Head. Slice 98 of 155. Axial view.
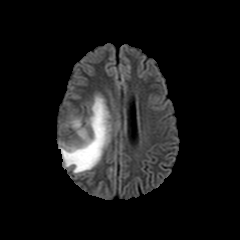
FLAIR MR.
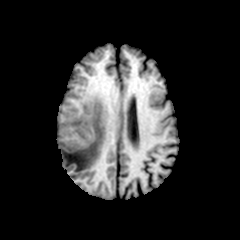
Same slice, T1-weighted MR.
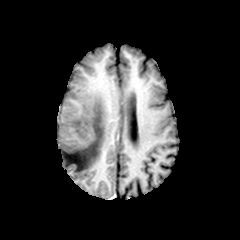
Same slice, post-contrast T1-weighted MRI.
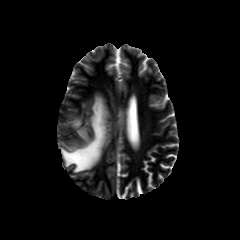
Same slice, T2-weighted MRI.
peritumoral edema: 60:95:110:173